Slice 112/155. Image width 240 mm. Axial plane.
FLAIR MR image.
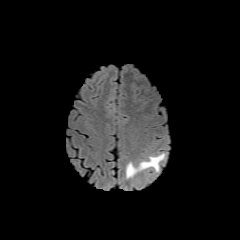
T1-weighted magnetic resonance.
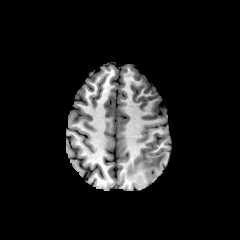
Post-contrast T1-weighted MRI.
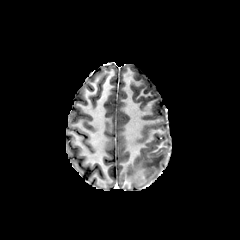
T2-weighted MR.
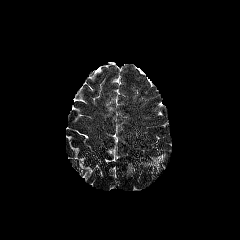
The peritumoral edema appears at rect(126, 153, 166, 178).